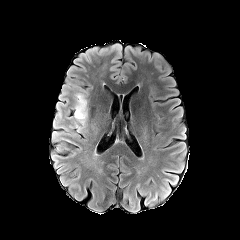
FLAIR MRI.
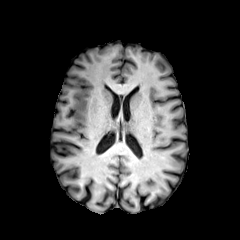
T1-weighted MR image.
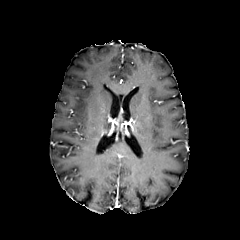
Post-contrast T1-weighted MR of the same slice.
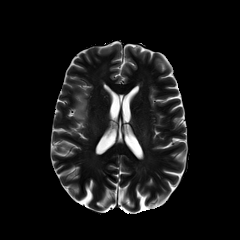
T2-weighted MRI.
Image size 240x240. Brain.
* peritumoral edema: box=[72, 88, 87, 131]